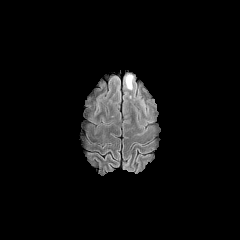
FLAIR MRI.
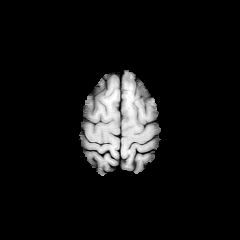
Same slice, T1-weighted MR image.
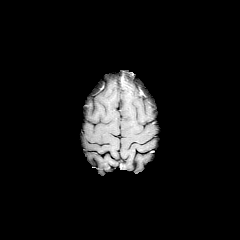
Post-contrast T1-weighted MRI.
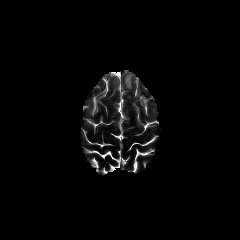
Same slice, T2-weighted MR image.
Axial plane | Brain
The peritumoral edema lies within x1=125, y1=74, x2=133, y2=89.